FLAIR MR.
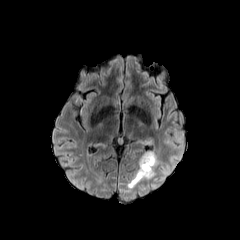
T1-weighted MRI.
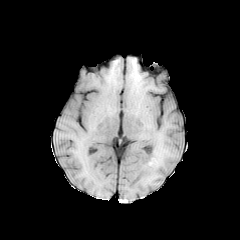
Post-contrast T1-weighted MRI.
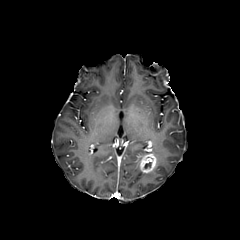
T2-weighted MR image.
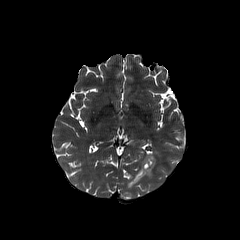
Axial slice; 240x240 px
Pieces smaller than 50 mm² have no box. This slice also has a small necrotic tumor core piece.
enhancing tumor: bounding box (139, 153, 156, 173)
peritumoral edema: bounding box (127, 169, 155, 188)